FLAIR MRI.
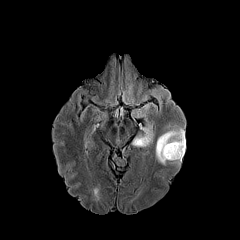
T1-weighted magnetic resonance.
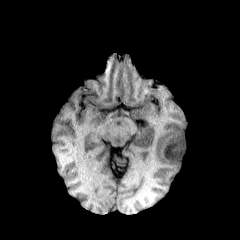
Post-contrast T1-weighted magnetic resonance.
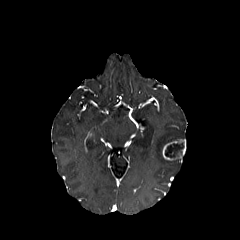
T2-weighted MRI.
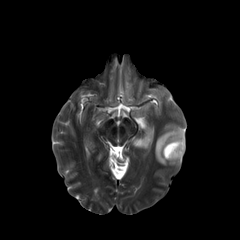
240x240. Axial view. Brain.
• necrotic tumor core: box(165, 143, 184, 157)
• enhancing tumor: box(163, 139, 185, 160)
• peritumoral edema: box(132, 123, 152, 147); box(155, 127, 184, 165)